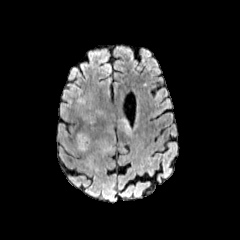
FLAIR MR image.
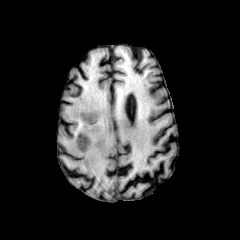
Same slice, T1-weighted MR.
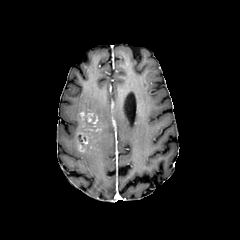
Post-contrast T1-weighted MRI.
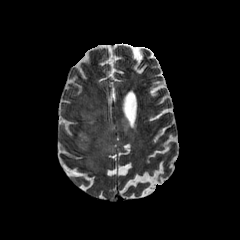
T2-weighted MRI.
Head
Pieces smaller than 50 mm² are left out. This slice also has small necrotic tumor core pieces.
The 2 largest peritumoral edema regions are located at x1=95, y1=142, x2=113, y2=157; x1=106, y1=118, x2=131, y2=137. The largest enhancing tumor region appears at x1=77, y1=112, x2=101, y2=151.